FLAIR magnetic resonance.
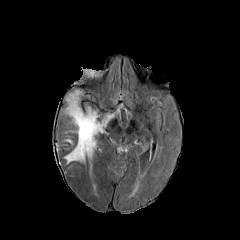
T1-weighted MRI.
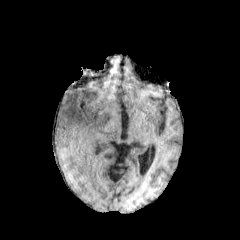
Post-contrast T1-weighted MRI.
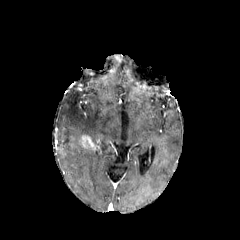
T2-weighted MRI.
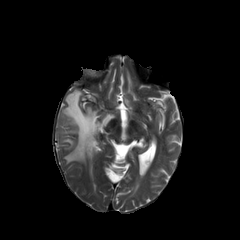
Head; Axial view; Image size 240x240
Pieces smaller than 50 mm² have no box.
The largest peritumoral edema region appears at box(64, 90, 113, 163). The enhancing tumor appears at box(80, 135, 98, 150).